FLAIR magnetic resonance.
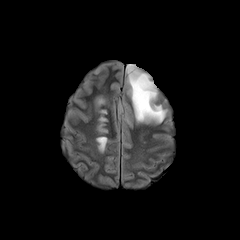
T1-weighted MR image.
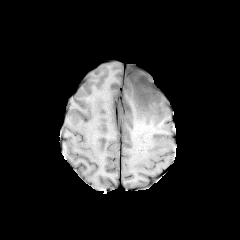
Post-contrast T1-weighted MR.
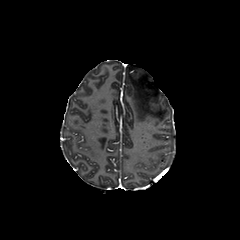
T2-weighted magnetic resonance.
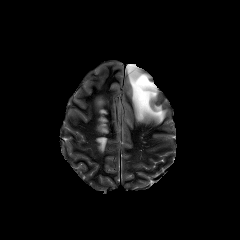
Brain. Axial slice.
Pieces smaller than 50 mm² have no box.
peritumoral edema: rect(126, 64, 166, 123)